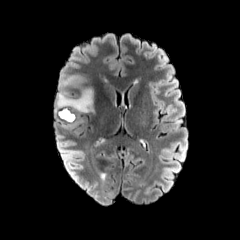
FLAIR MR.
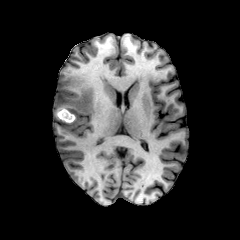
T1-weighted magnetic resonance of the same slice.
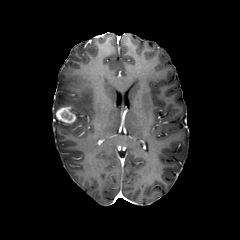
Post-contrast T1-weighted magnetic resonance.
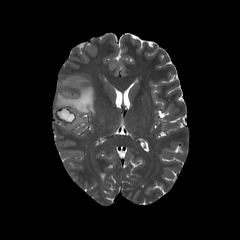
T2-weighted MR of the same slice.
Axial slice | Brain | Image size 240x240
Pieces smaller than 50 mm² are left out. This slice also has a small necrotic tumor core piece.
The enhancing tumor appears at [x1=56, y1=106, x2=76, y2=124]. The largest peritumoral edema region is bounded by [x1=54, y1=74, x2=94, y2=116].